Slice index 117.
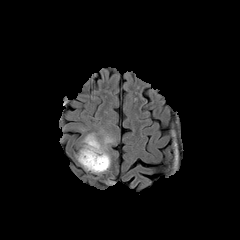
FLAIR MR image.
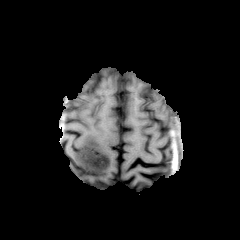
T1-weighted magnetic resonance of the same slice.
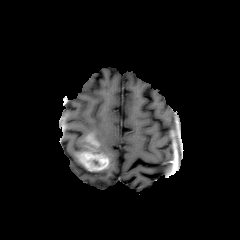
Same slice, post-contrast T1-weighted MRI.
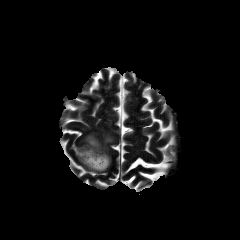
T2-weighted MR.
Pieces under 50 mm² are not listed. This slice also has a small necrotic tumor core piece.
Annotated regions:
• peritumoral edema: x1=79 y1=136 x2=88 y2=151, x1=88 y1=133 x2=114 y2=174
• enhancing tumor: x1=77 y1=135 x2=109 y2=171